Image width 240 mm, Slice 129/155, Brain
FLAIR MRI.
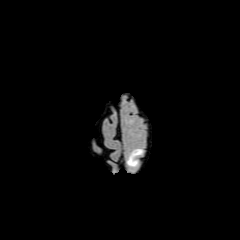
T1-weighted MRI.
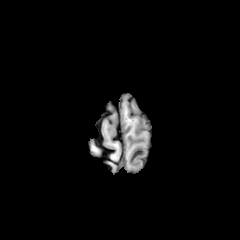
Post-contrast T1-weighted magnetic resonance.
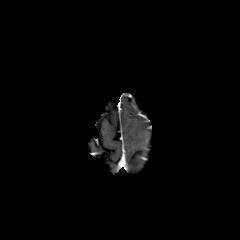
T2-weighted MR.
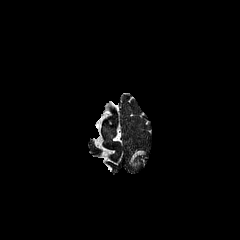
<segmentation>
  <peritumoral_edema>bbox=[129, 150, 142, 165]</peritumoral_edema>
</segmentation>